FLAIR MR.
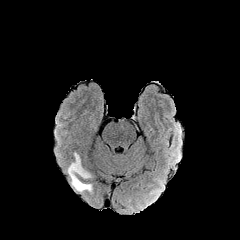
T1-weighted MR.
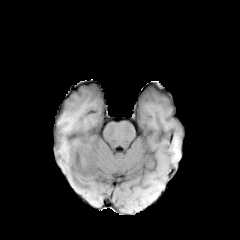
Post-contrast T1-weighted MRI.
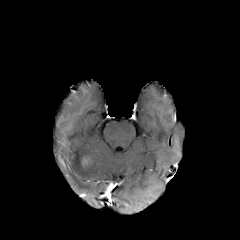
T2-weighted MR image.
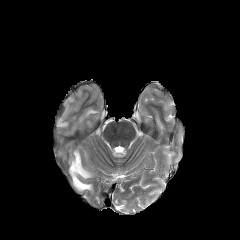
peritumoral_edema:
  - {"x1": 68, "y1": 152, "x2": 92, "y2": 191}